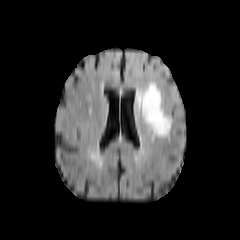
FLAIR magnetic resonance.
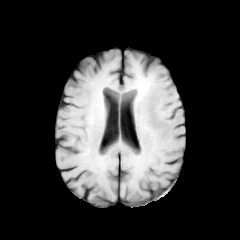
Same slice, T1-weighted MR.
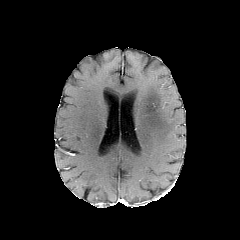
Post-contrast T1-weighted MRI.
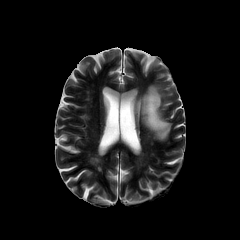
T2-weighted MR.
Head, Image size 240x240, Axial view
The peritumoral edema lies within (139, 83, 171, 138).